Slice 81 of 155 | 240x240 px | Brain
FLAIR MR image.
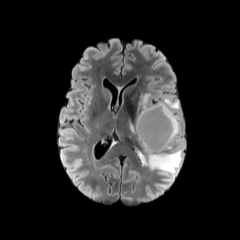
T1-weighted magnetic resonance.
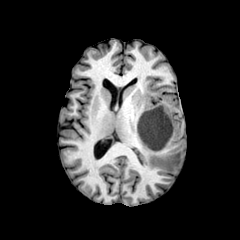
Post-contrast T1-weighted MRI.
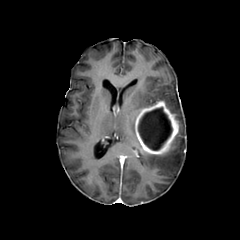
T2-weighted MRI.
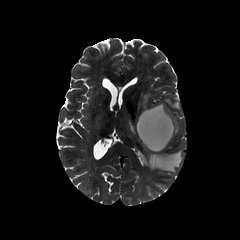
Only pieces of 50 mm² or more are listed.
enhancing_tumor:
  - (x1=135, y1=101, x2=178, y2=155)
necrotic_tumor_core:
  - (x1=138, y1=107, x2=172, y2=150)
peritumoral_edema:
  - (x1=129, y1=120, x2=135, y2=135)
  - (x1=155, y1=95, x2=182, y2=150)
  - (x1=137, y1=148, x2=182, y2=174)
  - (x1=138, y1=93, x2=153, y2=113)